Image covers 240 mm x 240 mm, Axial view, Head
FLAIR MRI.
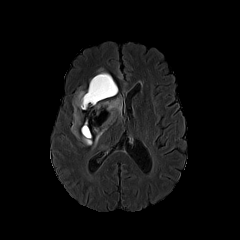
T1-weighted magnetic resonance.
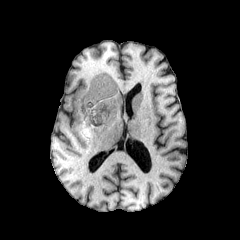
Post-contrast T1-weighted MR image.
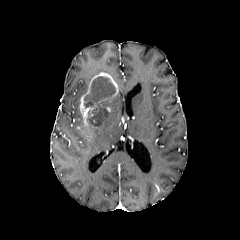
T2-weighted magnetic resonance.
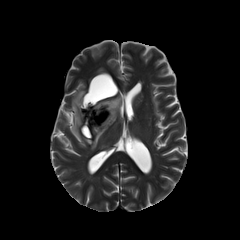
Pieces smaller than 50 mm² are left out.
{
  "necrotic_tumor_core": [
    "(84, 76, 115, 107)",
    "(88, 104, 109, 125)"
  ],
  "enhancing_tumor": [
    "(79, 72, 118, 127)"
  ],
  "peritumoral_edema": [
    "(71, 90, 86, 138)",
    "(92, 96, 122, 149)",
    "(81, 125, 92, 144)"
  ]
}